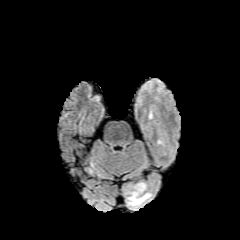
FLAIR magnetic resonance.
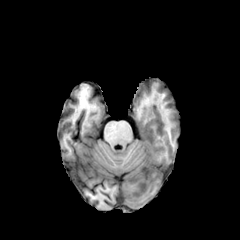
T1-weighted MR image of the same slice.
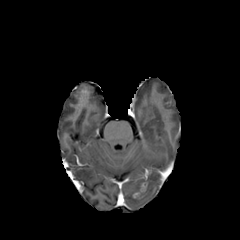
Post-contrast T1-weighted MRI.
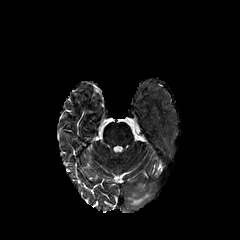
T2-weighted magnetic resonance.
Image size 240x240, Brain
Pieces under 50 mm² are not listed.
enhancing tumor at 133 183 146 197
peritumoral edema at 127 182 151 209